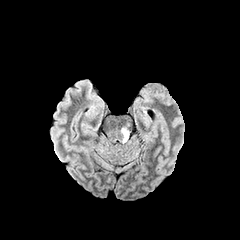
FLAIR MRI.
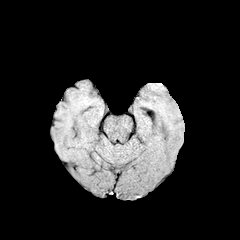
T1-weighted magnetic resonance of the same slice.
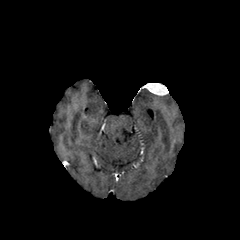
Post-contrast T1-weighted MR image.
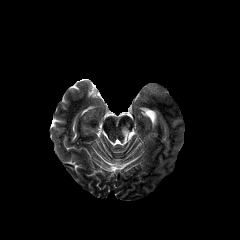
T2-weighted magnetic resonance.
Axial view | 240x240
The peritumoral edema appears at {"x1": 121, "y1": 127, "x2": 129, "y2": 142}.